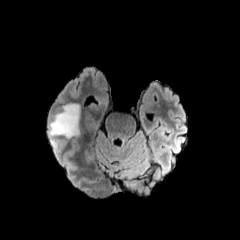
FLAIR MR image.
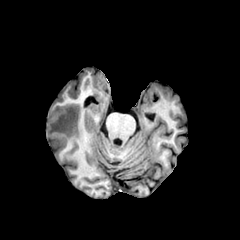
Same slice, T1-weighted magnetic resonance.
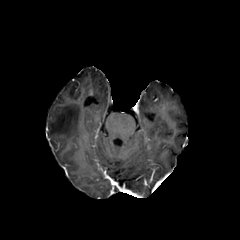
Same slice, post-contrast T1-weighted MRI.
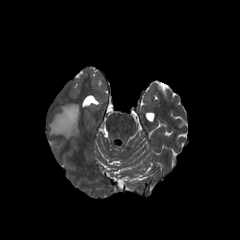
T2-weighted MR image.
Axial slice; Head
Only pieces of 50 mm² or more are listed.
<segmentation>
  <peritumoral_edema>box=[49, 104, 79, 138]</peritumoral_edema>
</segmentation>